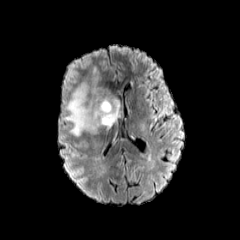
FLAIR MR.
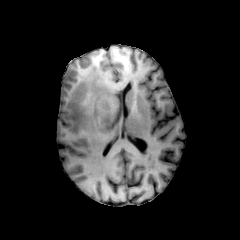
T1-weighted magnetic resonance of the same slice.
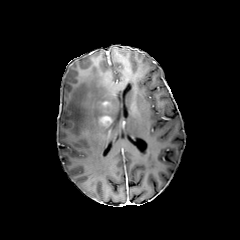
Post-contrast T1-weighted MR image.
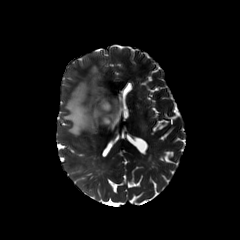
T2-weighted MR image.
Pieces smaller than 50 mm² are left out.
The largest enhancing tumor region is located at region(98, 100, 112, 127). The largest peritumoral edema region lies within region(64, 67, 119, 135).